240x240; Image width 240 mm; Head
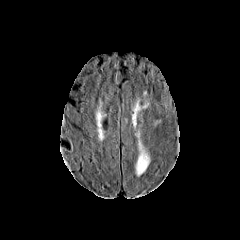
FLAIR MR.
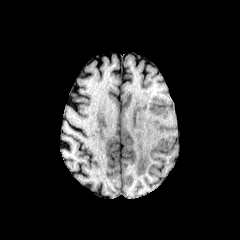
Same slice, T1-weighted MR.
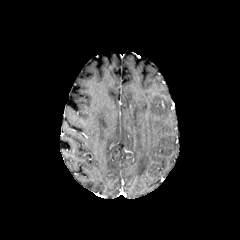
Post-contrast T1-weighted MR of the same slice.
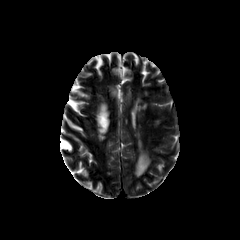
T2-weighted MR of the same slice.
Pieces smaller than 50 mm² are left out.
<segmentation>
  <peritumoral_edema>box(136, 141, 149, 176); box(131, 103, 139, 128)</peritumoral_edema>
</segmentation>